Slice index 43. Head. Axial slice. 240x240 px. Image width 240 mm.
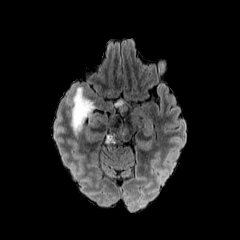
FLAIR MR.
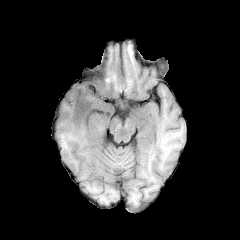
Same slice, T1-weighted MR.
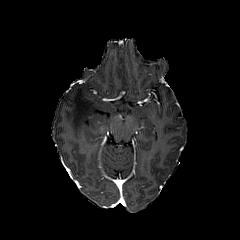
Post-contrast T1-weighted MR image of the same slice.
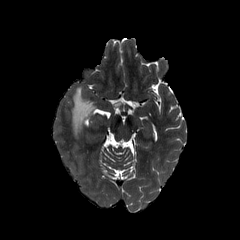
T2-weighted magnetic resonance.
{
  "peritumoral_edema": [
    "(left=115, top=99, right=122, bottom=113)",
    "(left=71, top=87, right=95, bottom=135)"
  ]
}